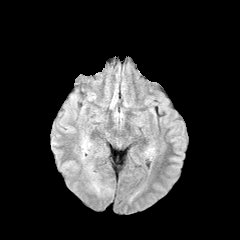
FLAIR MR image.
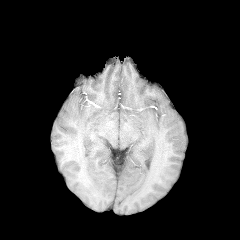
T1-weighted magnetic resonance of the same slice.
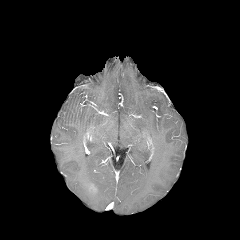
Post-contrast T1-weighted magnetic resonance of the same slice.
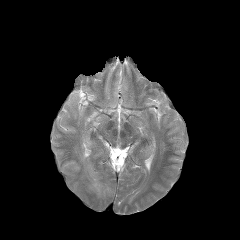
Same slice, T2-weighted MR image.
Brain. Image size 240x240.
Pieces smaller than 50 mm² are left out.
peritumoral edema — x1=89, y1=180, x2=102, y2=194; x1=81, y1=136, x2=91, y2=159; x1=86, y1=163, x2=95, y2=177